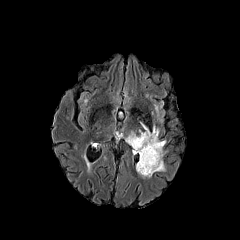
FLAIR MRI.
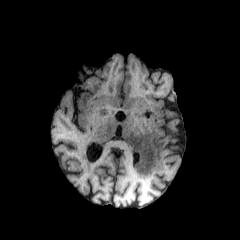
T1-weighted MR image of the same slice.
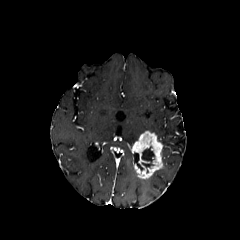
Post-contrast T1-weighted magnetic resonance.
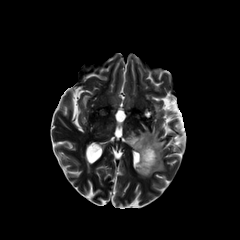
T2-weighted magnetic resonance.
Head
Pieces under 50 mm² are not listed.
peritumoral edema = (x1=125, y1=131, x2=139, y2=146)
enhancing tumor = (x1=131, y1=131, x2=163, y2=178)
necrotic tumor core = (x1=141, y1=147, x2=154, y2=167)